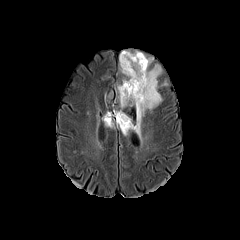
FLAIR MRI.
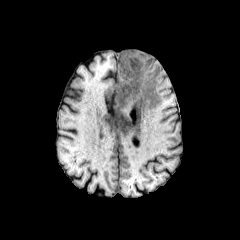
T1-weighted magnetic resonance.
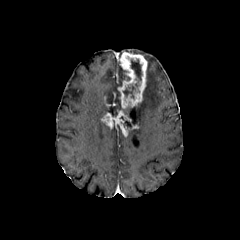
Same slice, post-contrast T1-weighted MRI.
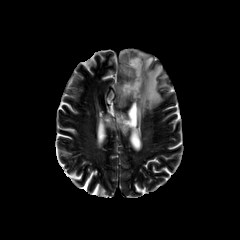
T2-weighted MR image.
Head; 240x240 px
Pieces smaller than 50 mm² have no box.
The 2 largest necrotic tumor core regions are bounded by left=123, top=86, right=134, bottom=98; left=131, top=59, right=141, bottom=80. 2 enhancing tumor regions are bounded by left=117, top=51, right=147, bottom=108; left=102, top=110, right=138, bottom=136. The 2 largest peritumoral edema regions are bounded by left=124, top=50, right=162, bottom=136; left=115, top=84, right=123, bottom=109.